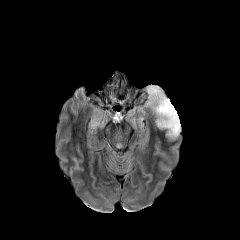
FLAIR MRI.
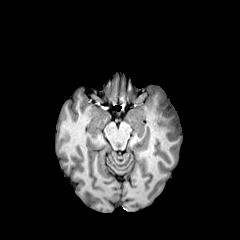
Same slice, T1-weighted MR.
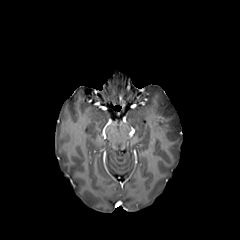
Post-contrast T1-weighted MRI of the same slice.
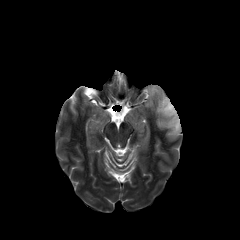
Same slice, T2-weighted magnetic resonance.
Axial plane
Segmented structures:
• peritumoral edema: box=[148, 86, 180, 138]